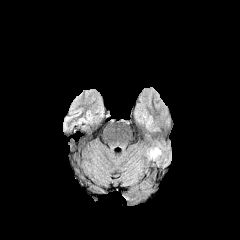
FLAIR magnetic resonance.
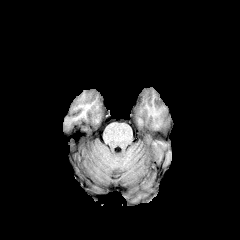
T1-weighted MR.
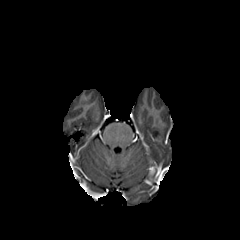
Post-contrast T1-weighted MR.
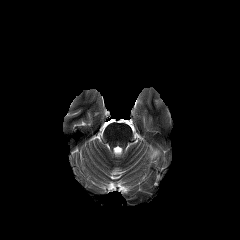
Same slice, T2-weighted MR image.
240x240, Head
peritumoral edema: 151,148,161,159